FLAIR magnetic resonance.
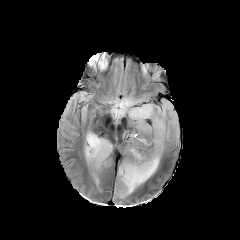
T1-weighted MRI.
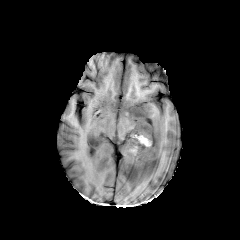
Post-contrast T1-weighted MR.
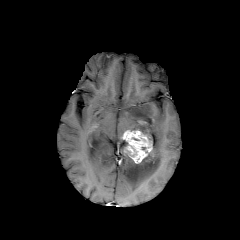
T2-weighted magnetic resonance.
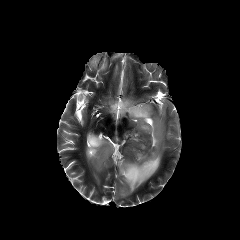
Brain, Axial view, 240x240 px
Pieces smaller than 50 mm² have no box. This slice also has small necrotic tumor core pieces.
{"enhancing_tumor": ["122:130:153:163"], "peritumoral_edema": ["109:97:165:196", "85:131:112:169"]}